Axial view. Slice 82/155. Image width 240 mm, 1.00 mm slice spacing. Brain.
FLAIR MRI.
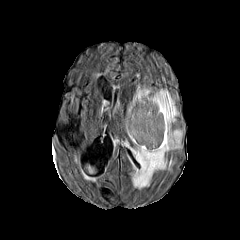
T1-weighted MR.
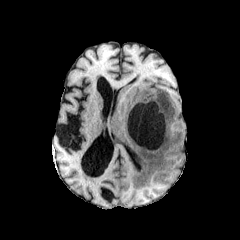
Post-contrast T1-weighted MRI.
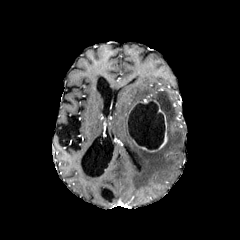
T2-weighted MR image.
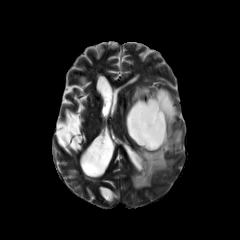
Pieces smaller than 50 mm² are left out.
{
  "peritumoral_edema": [
    "127:85:150:114",
    "124:90:182:188"
  ],
  "necrotic_tumor_core": [
    "127:100:165:149"
  ],
  "enhancing_tumor": [
    "132:100:167:152"
  ]
}